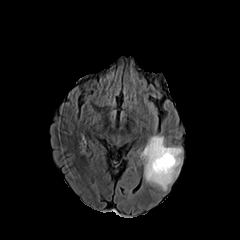
FLAIR magnetic resonance.
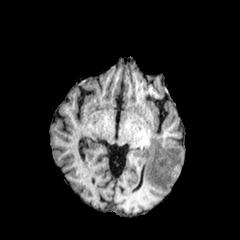
T1-weighted MR.
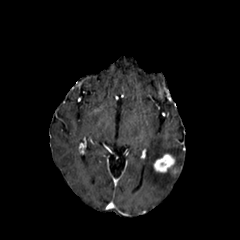
Post-contrast T1-weighted magnetic resonance.
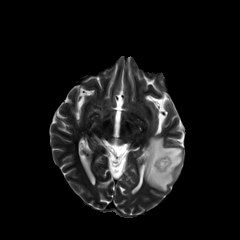
T2-weighted magnetic resonance of the same slice.
Axial plane
- enhancing tumor: rect(153, 154, 177, 173)
- peritumoral edema: rect(145, 136, 182, 191)